Brain. Axial plane.
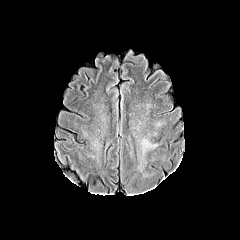
FLAIR MRI.
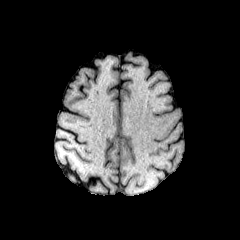
T1-weighted magnetic resonance.
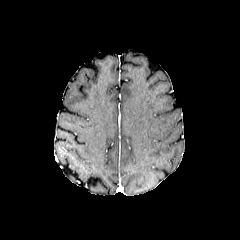
Post-contrast T1-weighted magnetic resonance of the same slice.
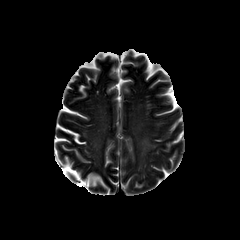
T2-weighted MR.
peritumoral edema: [155,121,165,130], [141,136,163,158]